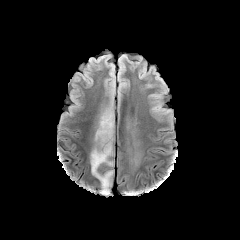
FLAIR magnetic resonance.
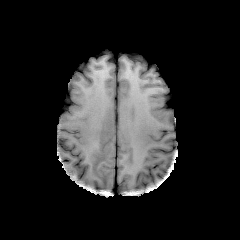
T1-weighted MRI of the same slice.
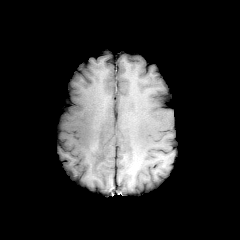
Same slice, post-contrast T1-weighted MR image.
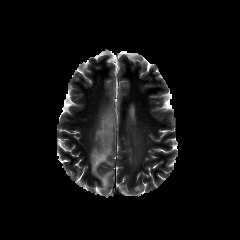
T2-weighted MR.
Brain
peritumoral edema = left=90, top=114, right=113, bottom=192